Brain, Slice index 61
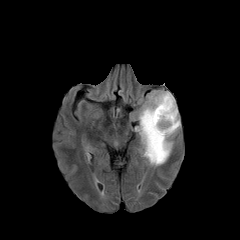
FLAIR MR.
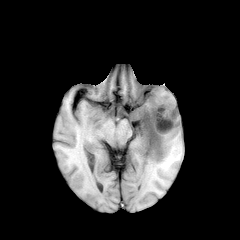
T1-weighted magnetic resonance.
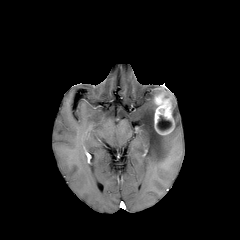
Same slice, post-contrast T1-weighted MRI.
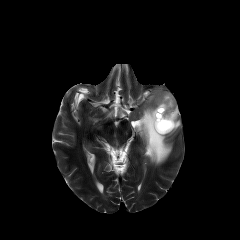
T2-weighted MR.
enhancing_tumor:
  - 153 92 175 135
peritumoral_edema:
  - 135 90 180 165
necrotic_tumor_core:
  - 157 115 171 131